Brain | Axial plane | Image width 240 mm
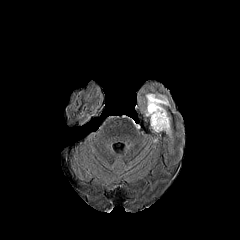
FLAIR MR.
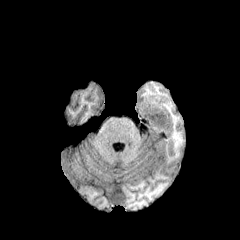
T1-weighted MR of the same slice.
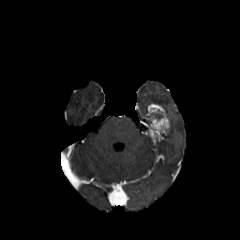
Post-contrast T1-weighted MR.
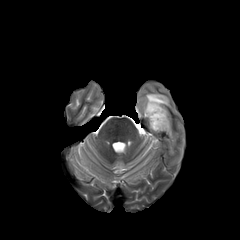
T2-weighted magnetic resonance of the same slice.
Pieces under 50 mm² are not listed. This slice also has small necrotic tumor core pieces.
The enhancing tumor is located at l=146, t=103, r=169, b=141. The largest peritumoral edema region appears at l=137, t=81, r=174, b=144.